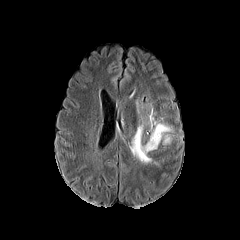
FLAIR MRI.
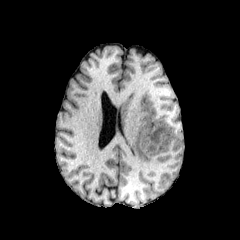
T1-weighted MR image of the same slice.
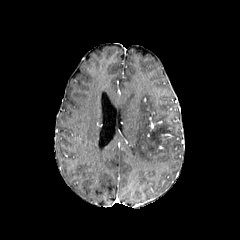
Same slice, post-contrast T1-weighted MRI.
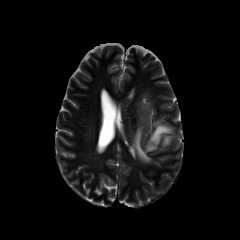
T2-weighted MRI.
Head. Image size 240x240.
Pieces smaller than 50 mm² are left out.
peritumoral edema: (132,121,173,163)